FLAIR MR image.
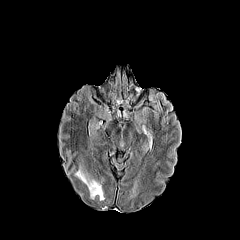
T1-weighted magnetic resonance.
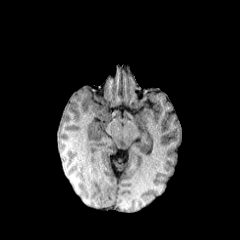
Post-contrast T1-weighted MR.
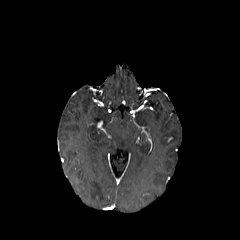
T2-weighted MRI.
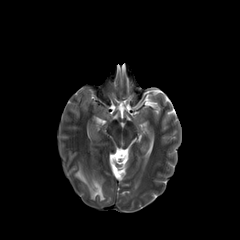
Image size 240x240. Axial view.
Findings:
• peritumoral edema: 75:169:104:200